FLAIR MRI.
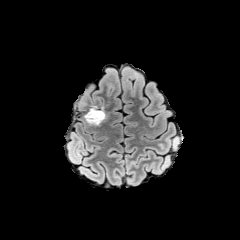
T1-weighted MR image.
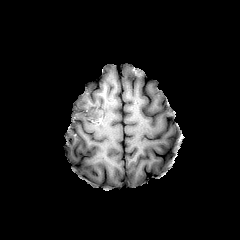
Post-contrast T1-weighted MR image.
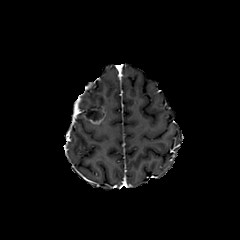
T2-weighted MR.
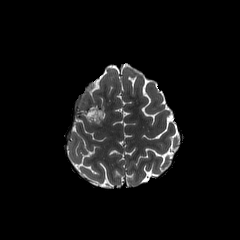
240x240 px | Brain
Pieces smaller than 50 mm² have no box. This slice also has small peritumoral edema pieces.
{"necrotic_tumor_core": ["box(86, 110, 102, 121)"], "enhancing_tumor": ["box(84, 106, 105, 124)"]}